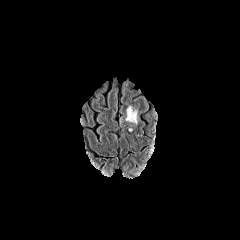
FLAIR MR.
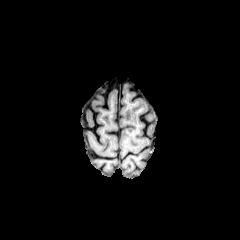
Same slice, T1-weighted MR.
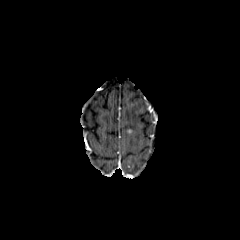
Post-contrast T1-weighted MR.
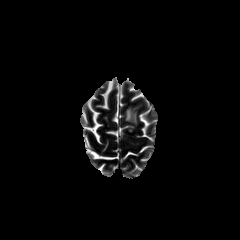
T2-weighted MRI.
Axial slice
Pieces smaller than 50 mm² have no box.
Findings:
• peritumoral edema: box=[125, 106, 137, 123]